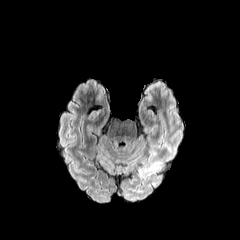
FLAIR MR image.
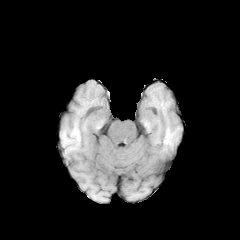
T1-weighted magnetic resonance of the same slice.
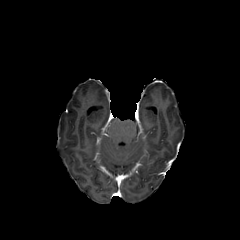
Post-contrast T1-weighted magnetic resonance of the same slice.
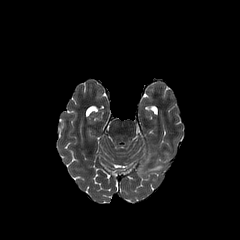
Same slice, T2-weighted MR.
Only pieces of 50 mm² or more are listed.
peritumoral edema — (left=138, top=160, right=162, bottom=176)